FLAIR MRI.
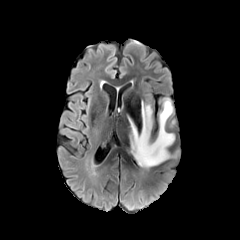
T1-weighted MR.
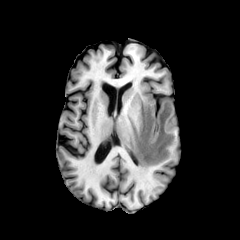
Post-contrast T1-weighted magnetic resonance.
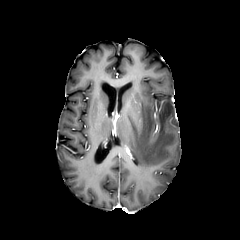
T2-weighted magnetic resonance.
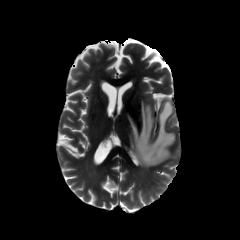
Axial slice; 240x240
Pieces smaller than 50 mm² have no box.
The largest peritumoral edema region appears at 128,98,174,169.